FLAIR magnetic resonance.
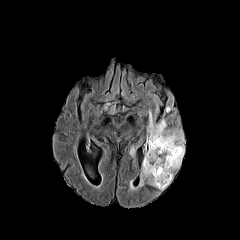
T1-weighted magnetic resonance.
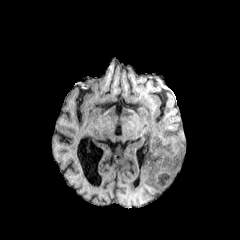
Post-contrast T1-weighted MRI.
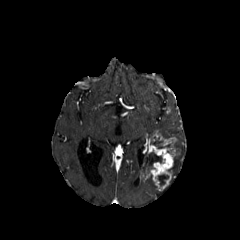
T2-weighted MRI.
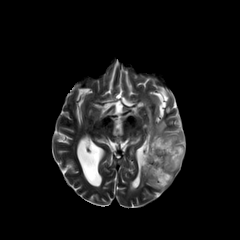
Head
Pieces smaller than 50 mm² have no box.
peritumoral_edema:
  - box(147, 112, 184, 178)
necrotic_tumor_core:
  - box(144, 152, 162, 172)
  - box(158, 175, 168, 185)
  - box(150, 138, 164, 148)
enhancing_tumor:
  - box(140, 130, 179, 190)